Image width 240 mm, 1.00 mm slice spacing | Brain | Axial view | Slice index 102
FLAIR MR.
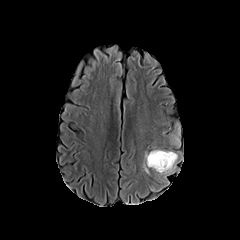
T1-weighted MRI.
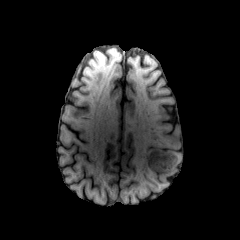
Post-contrast T1-weighted MR.
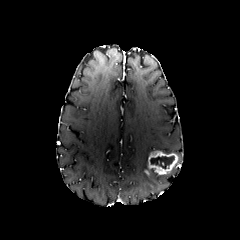
T2-weighted MR image.
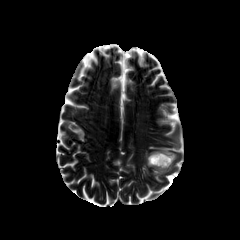
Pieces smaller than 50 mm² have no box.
peritumoral edema at left=168, top=120, right=181, bottom=148; left=142, top=151, right=149, bottom=171; left=150, top=148, right=174, bottom=153; left=163, top=151, right=182, bottom=178
necrotic tumor core at left=150, top=156, right=174, bottom=168
enhancing tumor at left=148, top=150, right=177, bottom=174